FLAIR MR image.
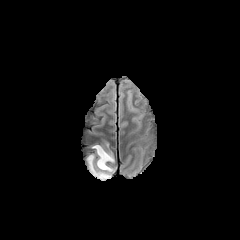
T1-weighted MRI.
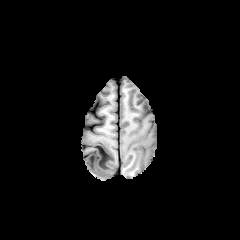
Post-contrast T1-weighted magnetic resonance.
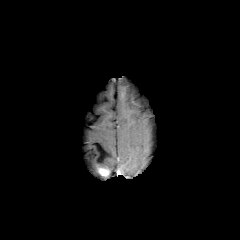
T2-weighted MR image.
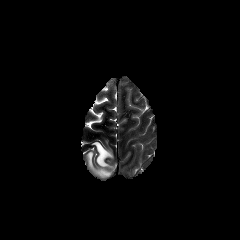
Axial slice | Brain
<segmentation>
  <peritumoral_edema>bbox=[87, 144, 114, 178]</peritumoral_edema>
  <enhancing_tumor>bbox=[97, 167, 108, 176]</enhancing_tumor>
</segmentation>